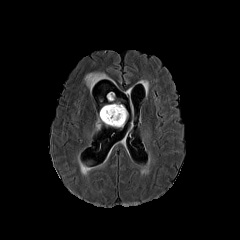
FLAIR MR image.
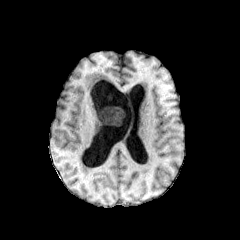
Same slice, T1-weighted magnetic resonance.
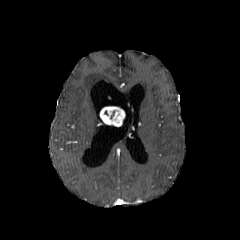
Post-contrast T1-weighted MR.
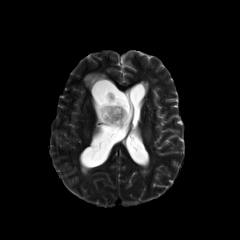
Same slice, T2-weighted magnetic resonance.
Axial view | 240x240 px | Brain
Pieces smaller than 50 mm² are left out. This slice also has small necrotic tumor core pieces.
peritumoral edema: bounding box <bbox>84, 72, 110, 91</bbox>
enhancing tumor: bounding box <bbox>100, 105, 125, 126</bbox>